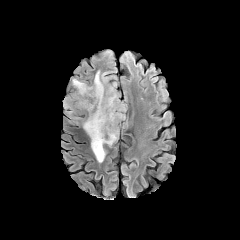
FLAIR MRI.
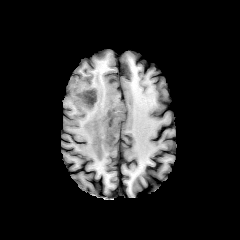
Same slice, T1-weighted MR image.
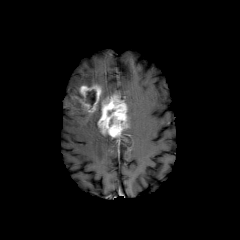
Same slice, post-contrast T1-weighted magnetic resonance.
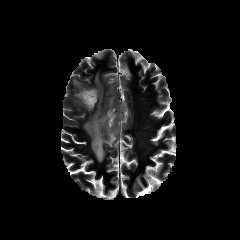
T2-weighted MR image of the same slice.
Axial plane
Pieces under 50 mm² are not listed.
necrotic_tumor_core:
  - 87 90 95 105
peritumoral_edema:
  - 83 71 117 162
  - 73 79 85 98
enhancing_tumor:
  - 97 92 128 139
  - 73 84 102 113